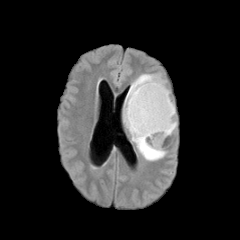
FLAIR MR.
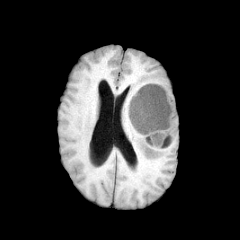
T1-weighted MR image.
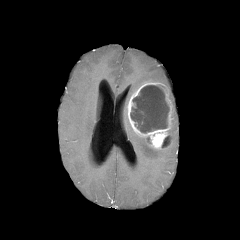
Post-contrast T1-weighted MR of the same slice.
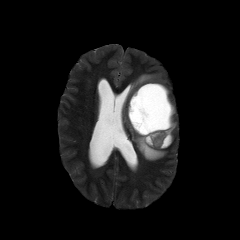
T2-weighted MRI.
240x240
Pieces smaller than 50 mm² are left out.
Findings:
• peritumoral edema: bbox=[169, 102, 177, 134]; bbox=[123, 74, 167, 160]
• necrotic tumor core: bbox=[161, 136, 170, 147]; bbox=[130, 85, 169, 133]
• enhancing tumor: bbox=[127, 82, 173, 149]